FLAIR MRI.
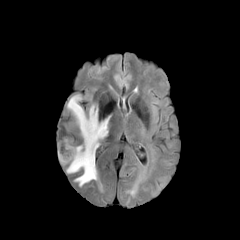
T1-weighted MRI.
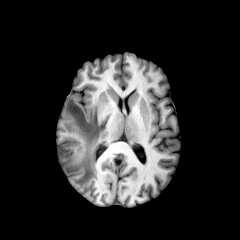
Post-contrast T1-weighted MR image.
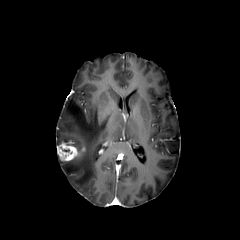
T2-weighted MRI.
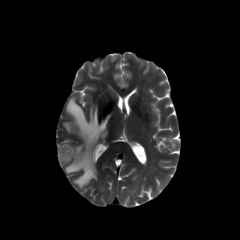
Brain. Axial view. Image size 240x240.
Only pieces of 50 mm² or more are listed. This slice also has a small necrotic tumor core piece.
Annotated regions:
• enhancing tumor: x1=57 y1=140 x2=78 y2=161
• peritumoral edema: x1=66 y1=96 x2=110 y2=186